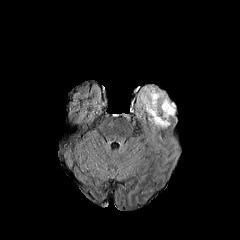
FLAIR MR image.
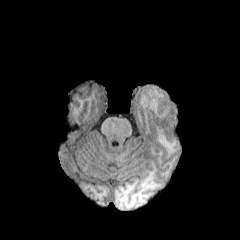
T1-weighted MR image.
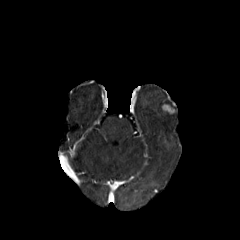
Post-contrast T1-weighted MR image.
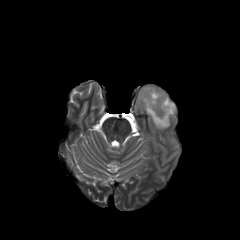
Same slice, T2-weighted MR.
Axial view. Head. 240x240 px.
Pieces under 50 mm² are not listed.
peritumoral edema: bounding box 138 87 175 128
enhancing tumor: bounding box 162 103 175 113